FLAIR magnetic resonance.
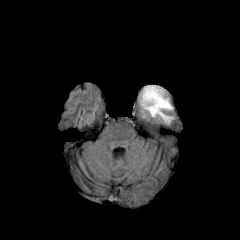
T1-weighted MR.
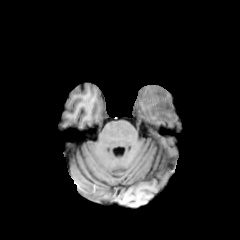
Post-contrast T1-weighted magnetic resonance.
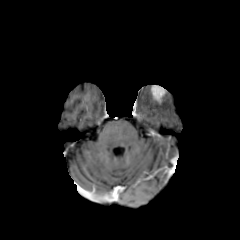
T2-weighted MR.
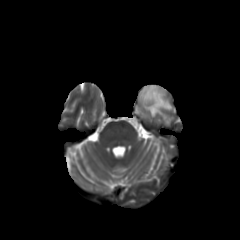
Head.
The peritumoral edema is located at bbox(136, 85, 175, 125). The enhancing tumor appears at bbox(151, 85, 166, 101).